240x240 px | Head
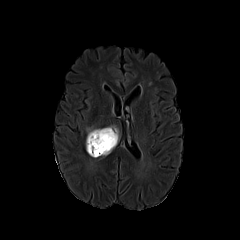
FLAIR MRI.
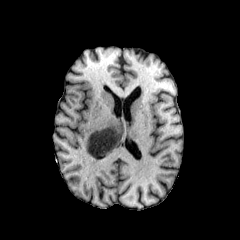
T1-weighted MR of the same slice.
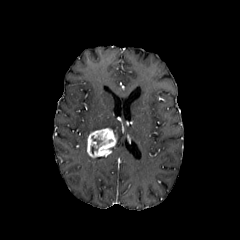
Same slice, post-contrast T1-weighted MR.
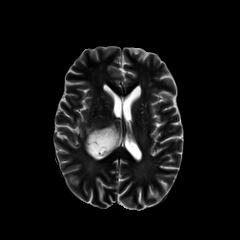
T2-weighted MR of the same slice.
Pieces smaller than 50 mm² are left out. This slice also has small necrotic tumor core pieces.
Annotated regions:
• peritumoral edema: x1=86, y1=126, x2=100, y2=138; x1=106, y1=125, x2=119, y2=144
• enhancing tumor: x1=87, y1=128, x2=117, y2=157